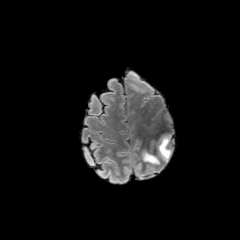
FLAIR MR.
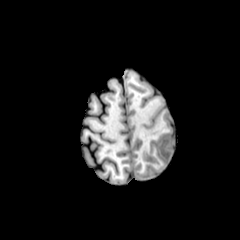
T1-weighted MR of the same slice.
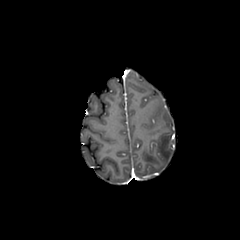
Post-contrast T1-weighted MR image.
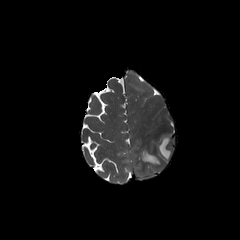
T2-weighted MR image.
Brain
peritumoral edema: rect(142, 150, 159, 163); rect(158, 135, 171, 161)